Brain | Slice 48/155
FLAIR magnetic resonance.
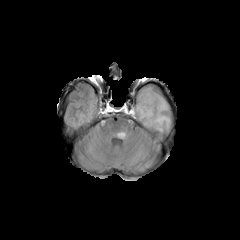
T1-weighted magnetic resonance.
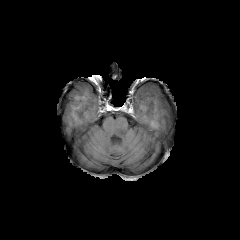
Post-contrast T1-weighted MRI.
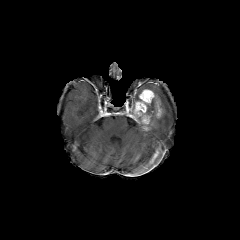
T2-weighted magnetic resonance.
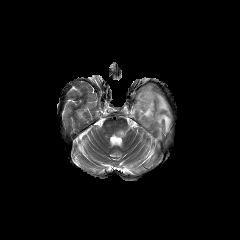
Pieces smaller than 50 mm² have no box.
The 2 largest peritumoral edema regions are bounded by (146,93,170,134), (113,120,132,138). The enhancing tumor appears at (126,89,163,130).